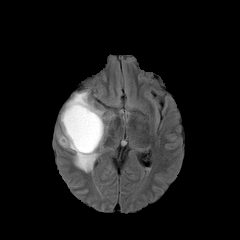
FLAIR MR.
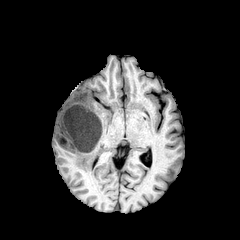
T1-weighted MR.
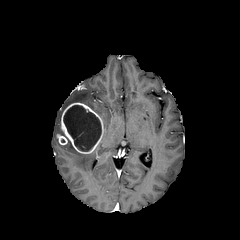
Same slice, post-contrast T1-weighted MRI.
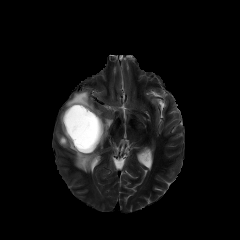
T2-weighted MR.
240x240 px.
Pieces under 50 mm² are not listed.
enhancing tumor = <bbox>57, 102, 104, 153</bbox>
peritumoral edema = <bbox>62, 142, 97, 172</bbox>, <bbox>65, 91, 107, 146</bbox>
necrotic tumor core = <bbox>63, 105, 101, 151</bbox>